Axial plane; Image covers 240 mm x 240 mm
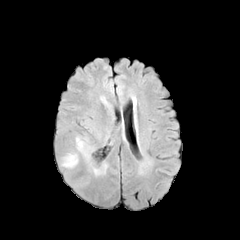
FLAIR magnetic resonance.
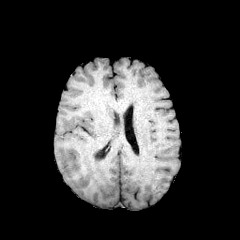
T1-weighted MR image of the same slice.
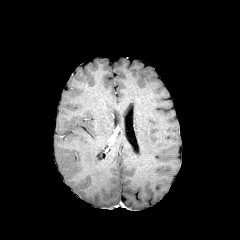
Post-contrast T1-weighted MR image of the same slice.
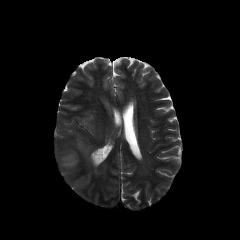
T2-weighted MRI of the same slice.
2 peritumoral edema regions are bounded by 63 155 76 166, 78 141 85 152.